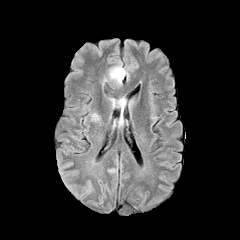
FLAIR MRI.
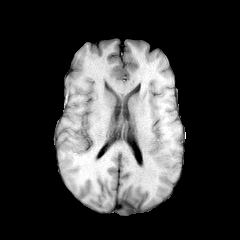
T1-weighted MRI.
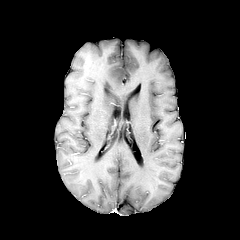
Same slice, post-contrast T1-weighted magnetic resonance.
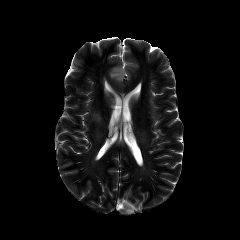
Same slice, T2-weighted MRI.
Axial slice
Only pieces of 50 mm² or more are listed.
Segmented structures:
* peritumoral edema: box=[109, 65, 128, 85]